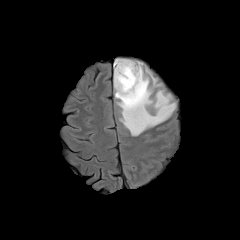
FLAIR magnetic resonance.
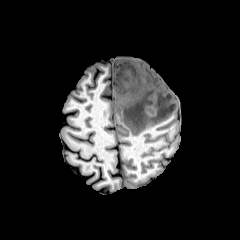
T1-weighted magnetic resonance of the same slice.
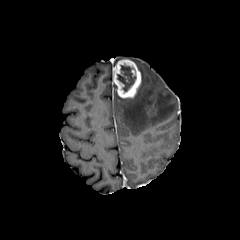
Same slice, post-contrast T1-weighted magnetic resonance.
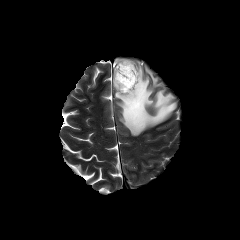
T2-weighted magnetic resonance of the same slice.
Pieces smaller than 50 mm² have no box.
necrotic_tumor_core:
  - <box>117,64,136,91</box>
peritumoral_edema:
  - <box>114,61,176,136</box>
enhancing_tumor:
  - <box>113,59,141,97</box>